240x240. Brain. Axial slice.
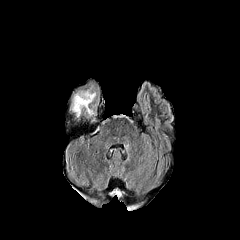
FLAIR MR image.
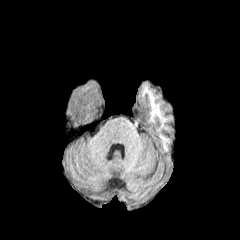
T1-weighted magnetic resonance.
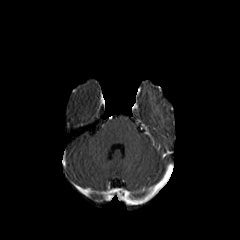
Same slice, post-contrast T1-weighted MRI.
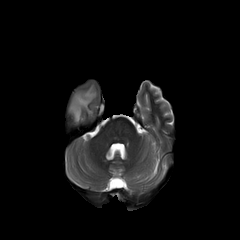
T2-weighted MR image of the same slice.
peritumoral edema — (70,86,95,118)